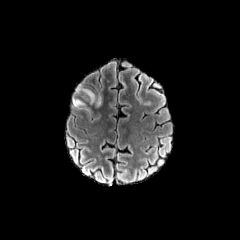
FLAIR magnetic resonance.
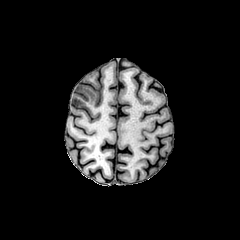
T1-weighted MRI.
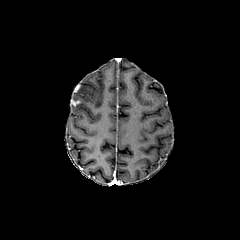
Post-contrast T1-weighted MR of the same slice.
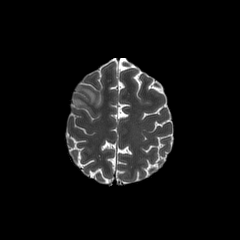
T2-weighted MRI.
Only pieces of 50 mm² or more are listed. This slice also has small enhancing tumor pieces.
peritumoral edema: rect(75, 86, 95, 103)